Slice 71 of 155
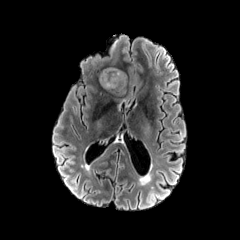
FLAIR MR.
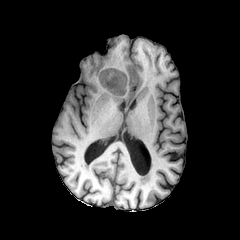
T1-weighted MR of the same slice.
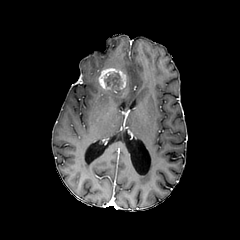
Same slice, post-contrast T1-weighted MR image.
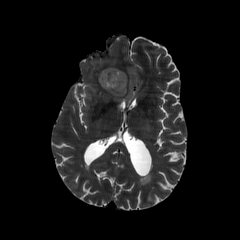
T2-weighted MRI.
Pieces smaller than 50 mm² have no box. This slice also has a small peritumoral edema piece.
necrotic tumor core: x1=105, y1=73, x2=119, y2=88 | enhancing tumor: x1=98, y1=68, x2=126, y2=92